Image width 240 mm, 1.00 mm slice spacing. Head.
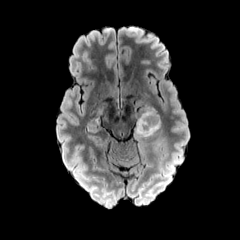
FLAIR MR image.
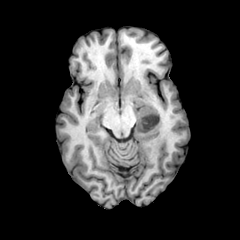
T1-weighted MR.
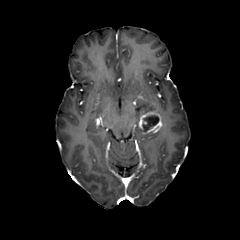
Same slice, post-contrast T1-weighted MR image.
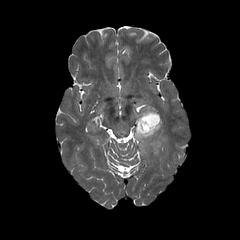
T2-weighted MRI.
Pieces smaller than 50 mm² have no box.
Annotated regions:
* enhancing tumor: <bbox>138, 110, 161, 134</bbox>
* necrotic tumor core: <bbox>142, 115, 158, 131</bbox>
* peritumoral edema: <bbox>141, 105, 154, 113</bbox>, <bbox>134, 118, 157, 141</bbox>